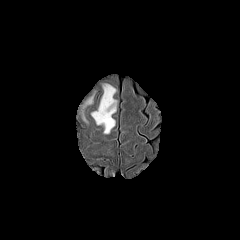
FLAIR MR image.
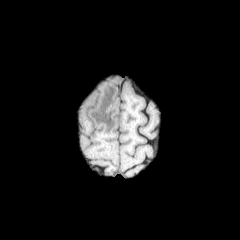
T1-weighted MR image.
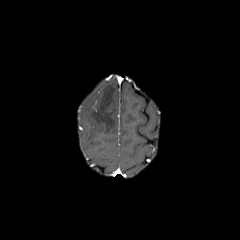
Post-contrast T1-weighted MR.
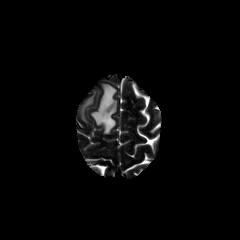
T2-weighted MRI.
Head; Axial plane
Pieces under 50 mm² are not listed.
The 2 largest peritumoral edema regions appear at rect(83, 96, 93, 107); rect(91, 84, 117, 134).